Slice index 110, Head, Axial slice
FLAIR MR image.
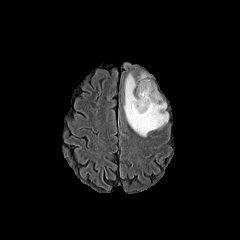
T1-weighted MR.
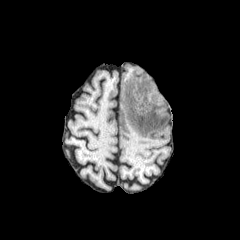
Post-contrast T1-weighted MRI.
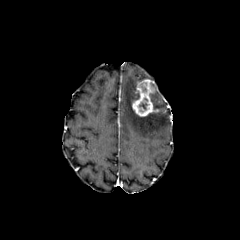
T2-weighted MRI.
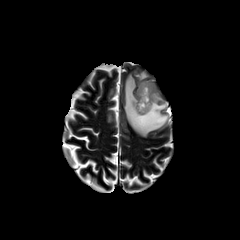
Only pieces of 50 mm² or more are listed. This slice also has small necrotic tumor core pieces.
Segmented structures:
- enhancing tumor: {"x1": 132, "y1": 79, "x2": 159, "y2": 116}
- peritumoral edema: {"x1": 123, "y1": 73, "x2": 169, "y2": 137}